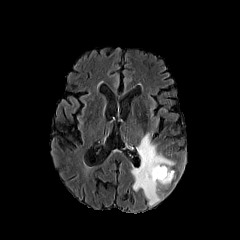
FLAIR magnetic resonance.
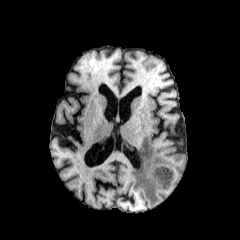
T1-weighted MR.
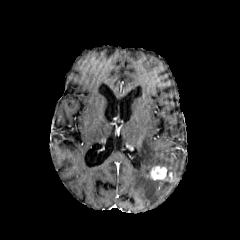
Post-contrast T1-weighted MRI.
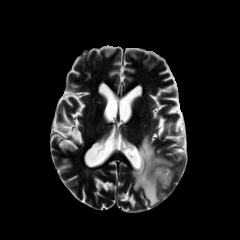
T2-weighted MRI of the same slice.
Head, 240x240
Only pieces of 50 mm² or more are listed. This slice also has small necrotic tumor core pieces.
enhancing tumor: bounding box 150, 166, 172, 181
peritumoral edema: bounding box 131, 133, 174, 205